Image width 240 mm, Image size 240x240, Brain, Axial slice
FLAIR MR image.
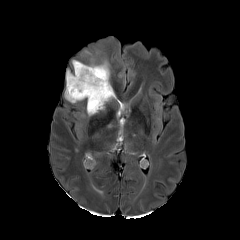
T1-weighted MRI.
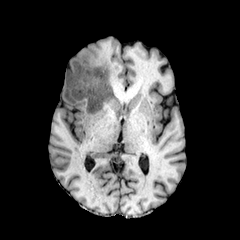
Post-contrast T1-weighted MRI.
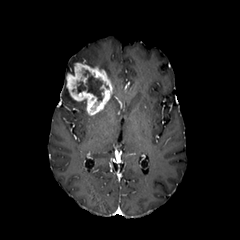
T2-weighted magnetic resonance.
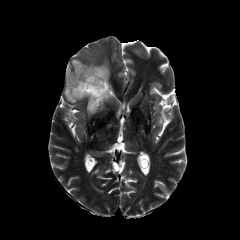
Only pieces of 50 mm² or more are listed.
enhancing_tumor:
  - (66, 62, 113, 115)
necrotic_tumor_core:
  - (77, 70, 102, 100)
peritumoral_edema:
  - (88, 60, 110, 77)
  - (64, 87, 76, 102)